FLAIR MRI.
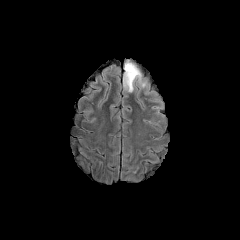
T1-weighted magnetic resonance.
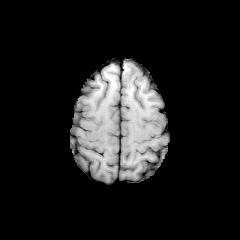
Post-contrast T1-weighted magnetic resonance.
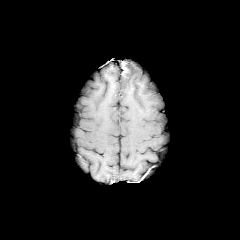
T2-weighted MR image.
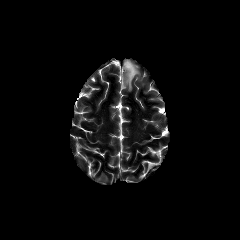
Brain.
peritumoral_edema:
  - x1=123 y1=60 x2=145 y2=92